Slice 73/155 | Head
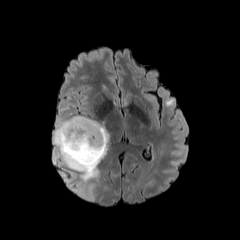
FLAIR magnetic resonance.
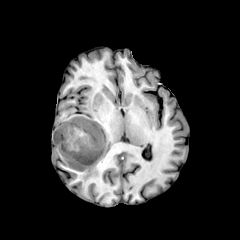
T1-weighted MR image of the same slice.
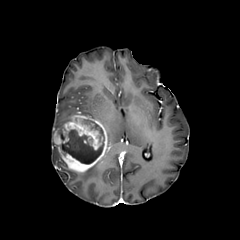
Post-contrast T1-weighted magnetic resonance.
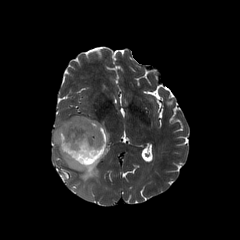
T2-weighted magnetic resonance.
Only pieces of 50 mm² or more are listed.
necrotic tumor core: (61, 119, 104, 164) | enhancing tumor: (53, 115, 109, 172) | peritumoral edema: (54, 117, 71, 131), (81, 162, 98, 181)